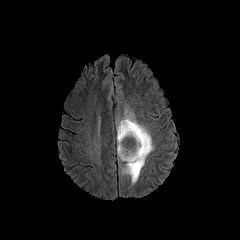
FLAIR magnetic resonance.
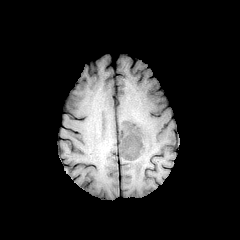
Same slice, T1-weighted MR.
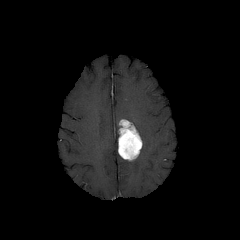
Post-contrast T1-weighted MR image.
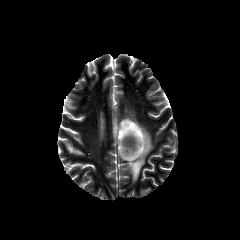
Same slice, T2-weighted MR image.
Axial view. Brain.
enhancing tumor — 118:119:142:161
peritumoral edema — 116:119:120:152, 119:108:153:184